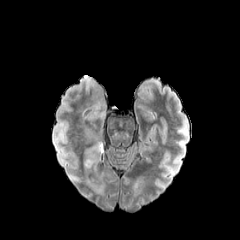
FLAIR MR image.
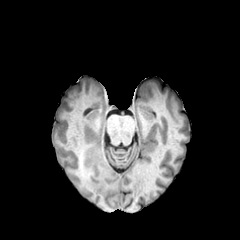
T1-weighted MR.
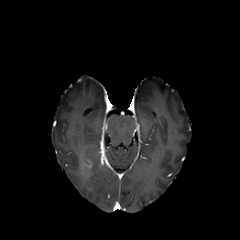
Post-contrast T1-weighted MR.
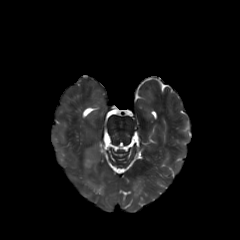
T2-weighted magnetic resonance.
Brain
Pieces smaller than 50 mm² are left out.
The largest enhancing tumor region is located at bbox=[100, 155, 108, 165]. The largest peritumoral edema region lies within bbox=[84, 145, 104, 168].